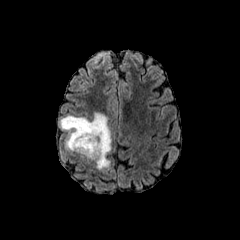
FLAIR MRI.
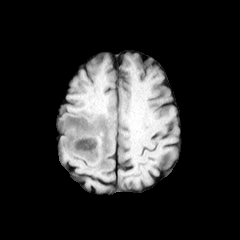
T1-weighted MR image.
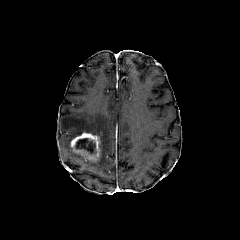
Post-contrast T1-weighted magnetic resonance.
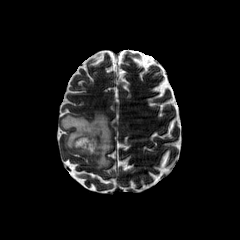
T2-weighted MR image of the same slice.
Brain
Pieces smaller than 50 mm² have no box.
The enhancing tumor is bounded by <bbox>70, 132, 100, 161</bbox>. The largest peritumoral edema region is located at <bbox>60, 113, 111, 169</bbox>. The necrotic tumor core appears at <bbox>75, 138, 95, 154</bbox>.